Slice index 52
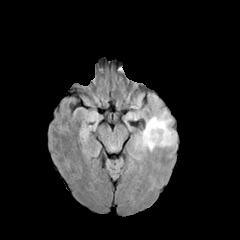
FLAIR MRI.
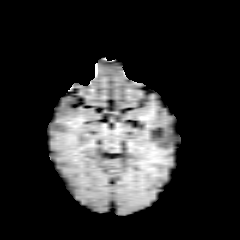
T1-weighted MR.
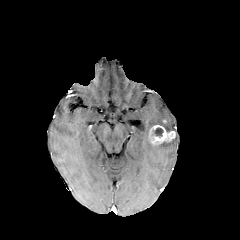
Same slice, post-contrast T1-weighted magnetic resonance.
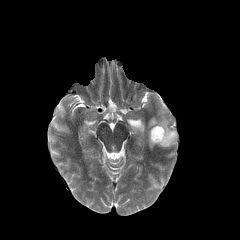
T2-weighted MR image.
peritumoral edema — box=[140, 112, 176, 150]
enhancing tumor — box=[149, 125, 175, 144]
necrotic tumor core — box=[152, 128, 163, 136]